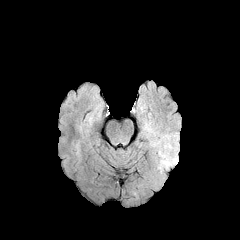
FLAIR MR.
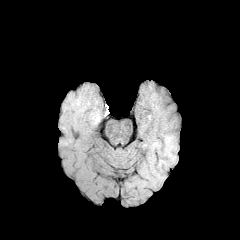
T1-weighted magnetic resonance.
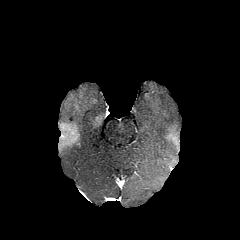
Post-contrast T1-weighted magnetic resonance of the same slice.
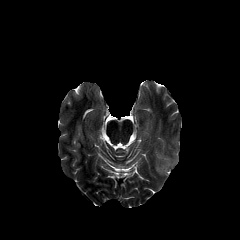
T2-weighted MRI.
<segmentation>
  <peritumoral_edema>bbox=[163, 136, 178, 169]</peritumoral_edema>
</segmentation>